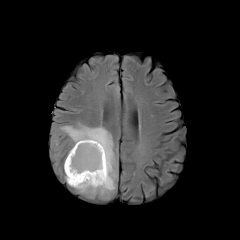
FLAIR MRI.
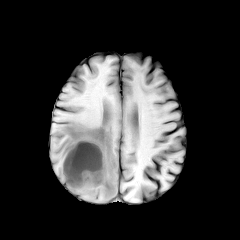
Same slice, T1-weighted MR.
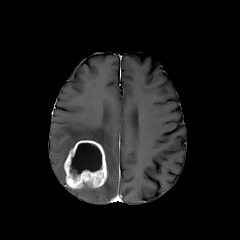
Post-contrast T1-weighted MRI.
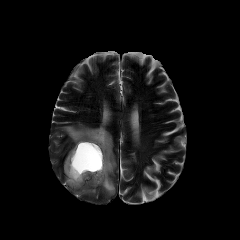
T2-weighted MR.
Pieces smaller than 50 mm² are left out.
peritumoral_edema:
  - box(60, 123, 116, 196)
necrotic_tumor_core:
  - box(70, 143, 101, 176)
enhancing_tumor:
  - box(64, 140, 107, 188)